FLAIR MR image.
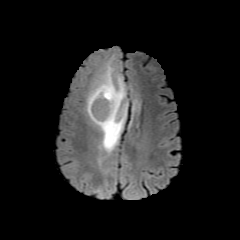
T1-weighted MR image.
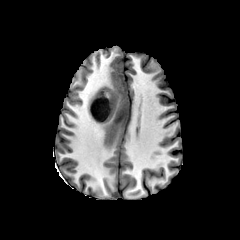
Post-contrast T1-weighted magnetic resonance.
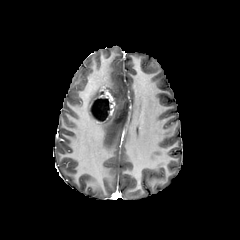
T2-weighted MR.
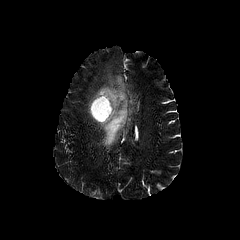
Axial slice
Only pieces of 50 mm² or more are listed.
{"enhancing_tumor": ["region(88, 88, 115, 123)"], "peritumoral_edema": ["region(86, 61, 128, 153)", "region(132, 99, 139, 112)"], "necrotic_tumor_core": ["region(90, 98, 110, 121)"]}